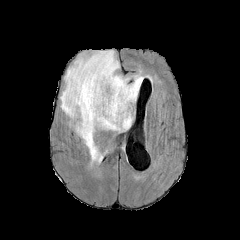
FLAIR MRI.
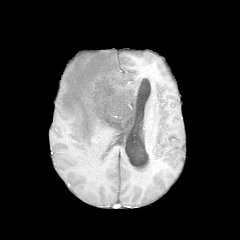
T1-weighted MRI.
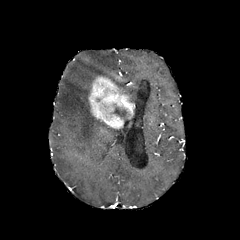
Same slice, post-contrast T1-weighted MR.
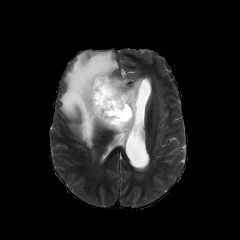
T2-weighted MR.
240x240. Brain.
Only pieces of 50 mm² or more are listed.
The enhancing tumor appears at (x1=88, y1=75, x2=134, y2=129). The necrotic tumor core is bounded by (x1=114, y1=108, x2=126, y2=117). The largest peritumoral edema region lies within (x1=60, y1=50, x2=151, y2=162).